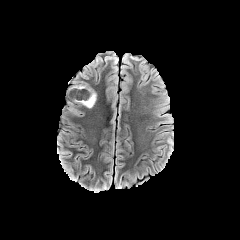
FLAIR MR image.
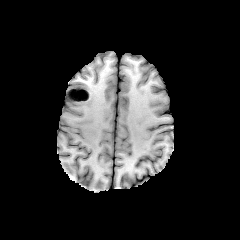
Same slice, T1-weighted MR.
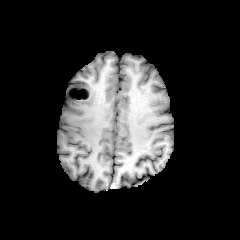
Post-contrast T1-weighted MR.
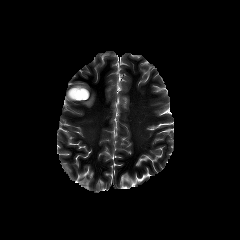
T2-weighted MR image.
Axial slice | Head
necrotic tumor core at (left=69, top=89, right=89, bottom=99)
enhancing tumor at (left=68, top=87, right=90, bottom=100)
peritumoral edema at (left=71, top=82, right=87, bottom=87), (left=66, top=88, right=96, bottom=107)